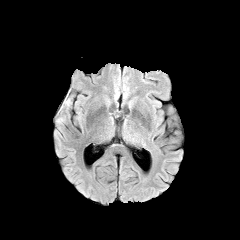
FLAIR MR image.
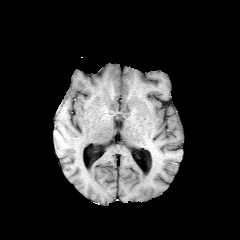
T1-weighted MR.
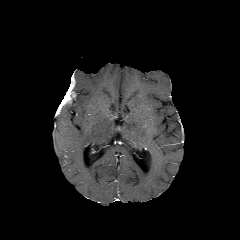
Same slice, post-contrast T1-weighted MR.
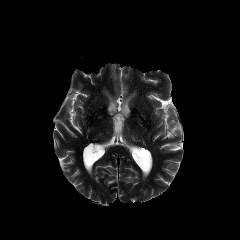
T2-weighted magnetic resonance.
Head | 240x240
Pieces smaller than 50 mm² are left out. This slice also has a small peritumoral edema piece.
<segmentation>
  <enhancing_tumor>55, 85, 72, 115</enhancing_tumor>
</segmentation>